240x240, Axial view, Image width 240 mm, 1.00 mm slice spacing, Head
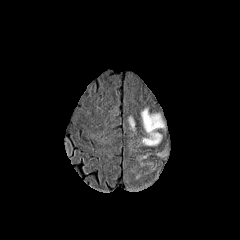
FLAIR magnetic resonance.
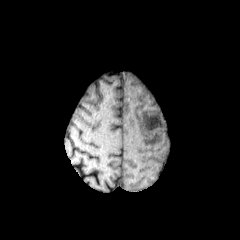
T1-weighted MRI.
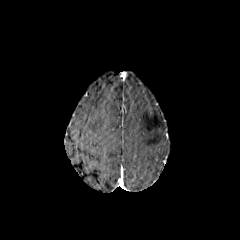
Post-contrast T1-weighted MRI.
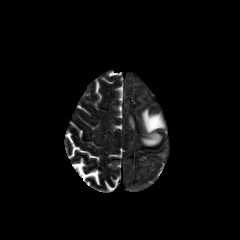
T2-weighted MR.
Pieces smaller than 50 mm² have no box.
{
  "peritumoral_edema": [
    "158:150:167:156",
    "141:108:165:146"
  ]
}